FLAIR MR.
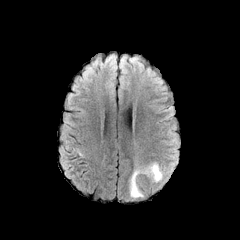
T1-weighted MRI.
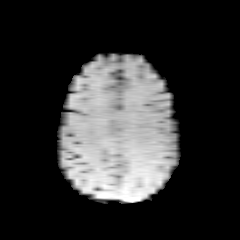
Post-contrast T1-weighted MR.
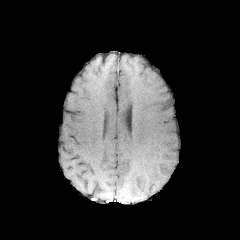
T2-weighted magnetic resonance.
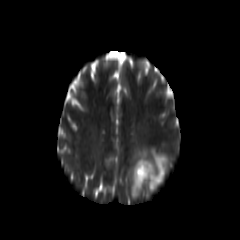
Head
peritumoral edema: (130, 161, 167, 198)